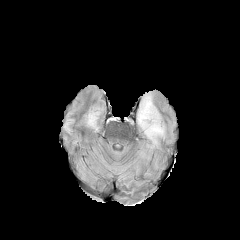
FLAIR MR.
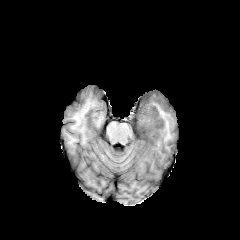
T1-weighted MRI.
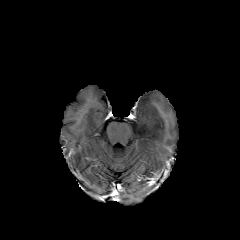
Same slice, post-contrast T1-weighted magnetic resonance.
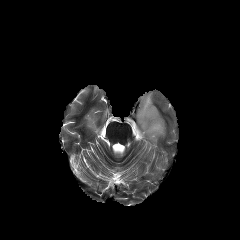
T2-weighted MR of the same slice.
Axial plane, 240x240 px, Head
Segmented structures:
• peritumoral edema: region(137, 94, 165, 156); region(88, 116, 96, 129)